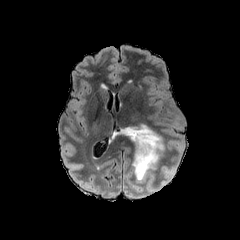
FLAIR MR.
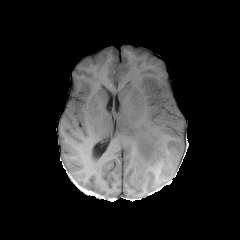
Same slice, T1-weighted MR.
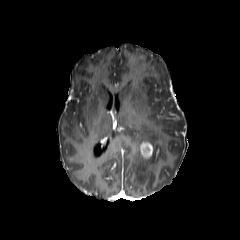
Post-contrast T1-weighted MR.
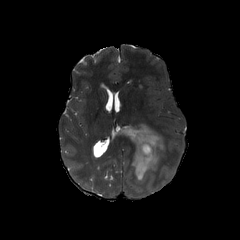
T2-weighted MRI of the same slice.
peritumoral_edema:
  - 108,124,165,181
enhancing_tumor:
  - 140,141,153,158